Slice 66 of 155
FLAIR magnetic resonance.
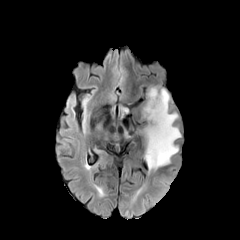
T1-weighted MR image.
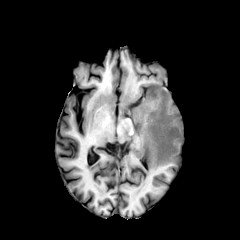
Post-contrast T1-weighted MR image.
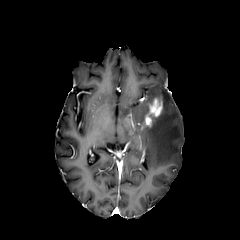
T2-weighted MR.
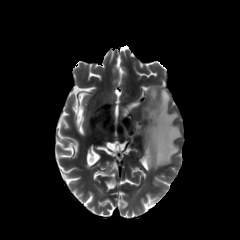
The enhancing tumor appears at 145 98 162 126. The peritumoral edema is at 139 88 180 171.